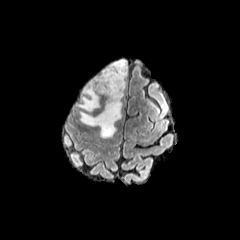
FLAIR MR.
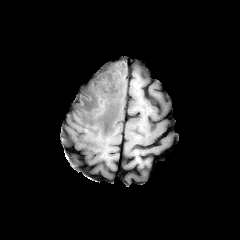
T1-weighted MR.
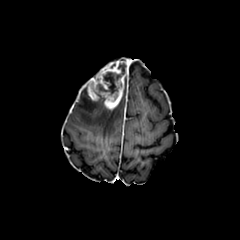
Same slice, post-contrast T1-weighted magnetic resonance.
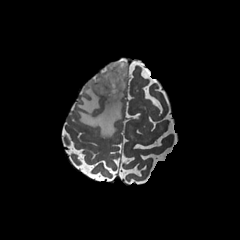
T2-weighted MR image.
Axial plane. Brain. Image size 240x240.
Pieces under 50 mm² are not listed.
peritumoral edema: (76, 87, 100, 111), (78, 99, 122, 137) | enhancing tumor: (84, 60, 128, 110) | necrotic tumor core: (96, 63, 125, 94)